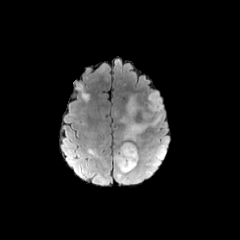
FLAIR MR.
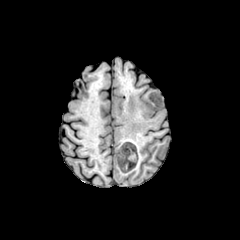
T1-weighted magnetic resonance of the same slice.
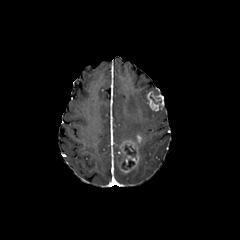
Post-contrast T1-weighted MR image.
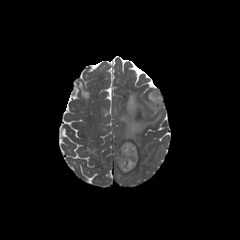
T2-weighted MR image of the same slice.
Axial view, Brain, 240x240 px
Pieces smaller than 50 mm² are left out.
enhancing tumor — <bbox>147, 91, 163, 111</bbox>, <bbox>117, 140, 139, 173</bbox>
necrotic tumor core — <bbox>124, 145, 136, 157</bbox>, <bbox>121, 159, 134, 169</bbox>
peritumoral edema — <bbox>156, 144, 165, 158</bbox>, <bbox>122, 117, 147, 142</bbox>, <bbox>146, 102, 163, 124</bbox>, <bbox>114, 153, 140, 183</bbox>, <bbox>127, 96, 138, 117</bbox>